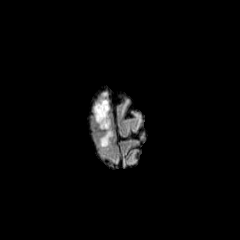
FLAIR MR.
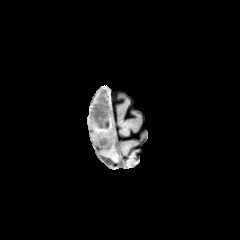
T1-weighted MR image.
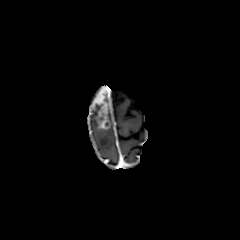
Post-contrast T1-weighted MR.
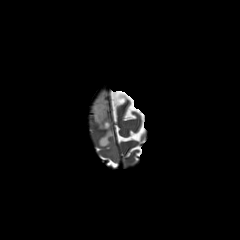
T2-weighted magnetic resonance.
Brain
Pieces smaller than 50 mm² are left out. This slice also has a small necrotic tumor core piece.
enhancing tumor: left=93, top=92, right=109, bottom=128
peritumoral edema: left=93, top=91, right=113, bottom=147